240x240, Slice 85/155
FLAIR MR image.
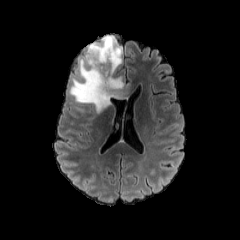
T1-weighted magnetic resonance.
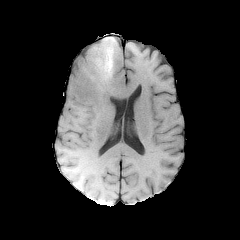
Post-contrast T1-weighted MR.
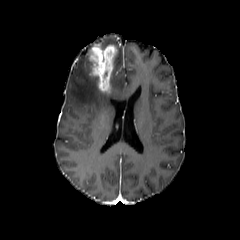
T2-weighted magnetic resonance.
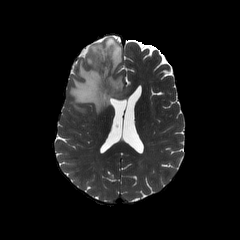
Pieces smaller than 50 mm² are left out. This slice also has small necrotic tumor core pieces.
Annotated regions:
- peritumoral edema: 69, 36, 132, 113
- enhancing tumor: 87, 43, 117, 94